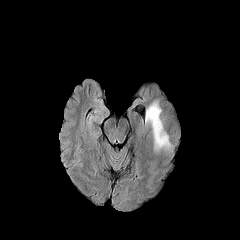
FLAIR MRI.
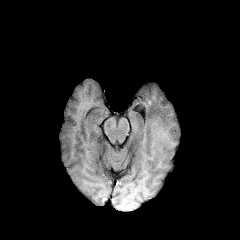
T1-weighted MR.
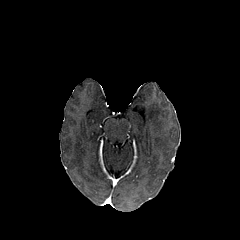
Post-contrast T1-weighted MRI.
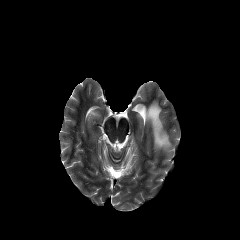
Same slice, T2-weighted MR.
Axial plane. Brain.
peritumoral edema — box(145, 101, 172, 150)